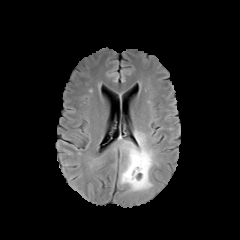
FLAIR MRI.
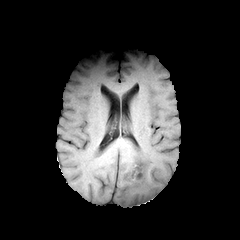
Same slice, T1-weighted MR image.
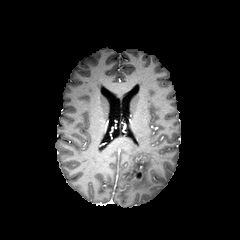
Same slice, post-contrast T1-weighted MR image.
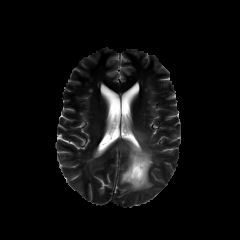
T2-weighted MR image.
Brain
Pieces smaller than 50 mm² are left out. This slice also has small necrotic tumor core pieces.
enhancing tumor: region(132, 165, 143, 180) | peritumoral edema: region(120, 130, 154, 191)